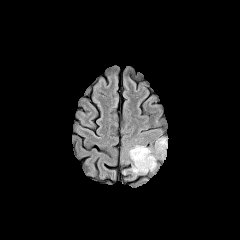
FLAIR magnetic resonance.
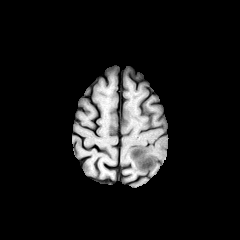
T1-weighted MR image.
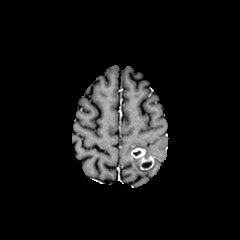
Same slice, post-contrast T1-weighted MRI.
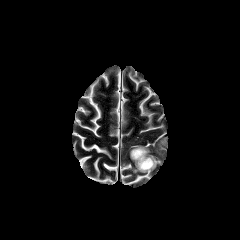
T2-weighted magnetic resonance of the same slice.
Head.
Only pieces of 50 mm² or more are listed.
Findings:
- peritumoral edema: (left=157, top=138, right=167, bottom=157), (left=128, top=145, right=156, bottom=173)
- enhancing tumor: (left=131, top=148, right=154, bottom=169)
- necrotic tumor core: (left=142, top=161, right=151, bottom=168)